FLAIR magnetic resonance.
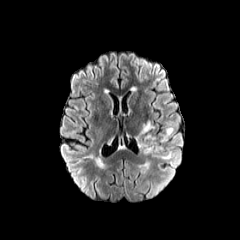
T1-weighted MRI.
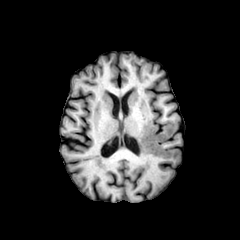
Post-contrast T1-weighted MR.
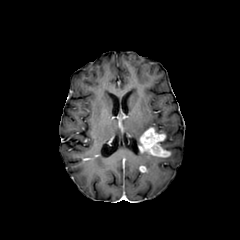
T2-weighted MR.
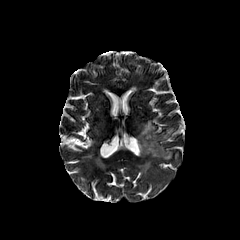
Brain | 240x240
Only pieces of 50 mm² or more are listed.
peritumoral edema: bbox=[136, 120, 154, 144]; bbox=[162, 126, 174, 141]
enhancing tumor: bbox=[138, 127, 170, 157]